FLAIR MRI.
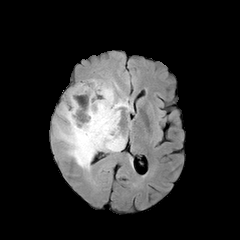
T1-weighted MR image.
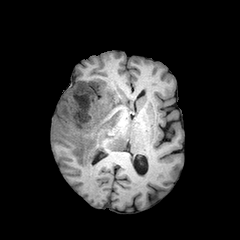
Post-contrast T1-weighted MRI.
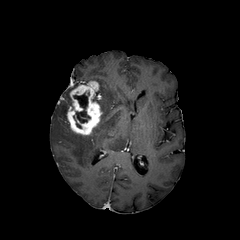
T2-weighted MRI.
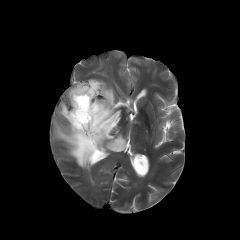
Brain. Image size 240x240.
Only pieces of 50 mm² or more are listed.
The peritumoral edema lies within box(54, 78, 130, 170). The enhancing tumor is at box(67, 81, 102, 135). The largest necrotic tumor core region is at box(73, 93, 90, 122).